Slice 89 of 155. Head. 240x240 px.
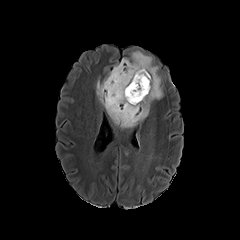
FLAIR MR image.
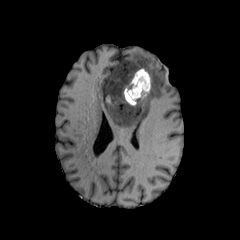
T1-weighted MR image.
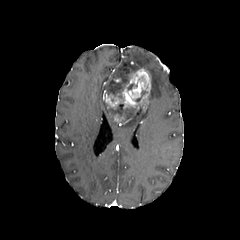
Same slice, post-contrast T1-weighted MR.
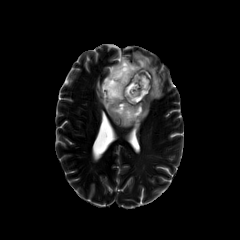
T2-weighted MR image of the same slice.
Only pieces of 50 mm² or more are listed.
necrotic tumor core: (111, 104, 135, 119), (135, 90, 147, 102), (105, 62, 134, 100) | peritumoral edema: (132, 51, 163, 101), (96, 75, 150, 129) | enhancing tumor: (113, 114, 124, 122), (105, 68, 150, 112)